Axial slice; 240x240; Head
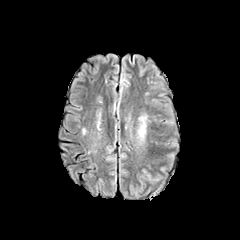
FLAIR MRI.
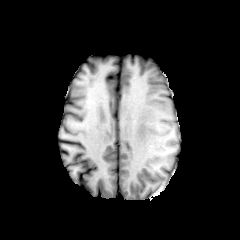
T1-weighted magnetic resonance.
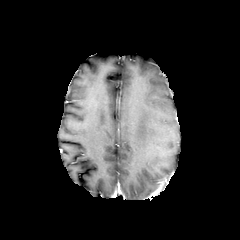
Post-contrast T1-weighted magnetic resonance.
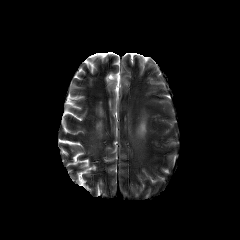
Same slice, T2-weighted MR.
<segmentation>
  <peritumoral_edema>box=[140, 122, 145, 135]</peritumoral_edema>
</segmentation>